240x240, Axial plane, Image width 240 mm, 1.00 mm slice spacing, Slice 116/155
FLAIR MRI.
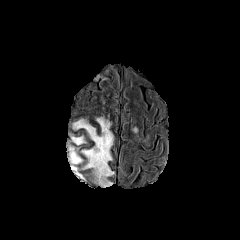
T1-weighted magnetic resonance.
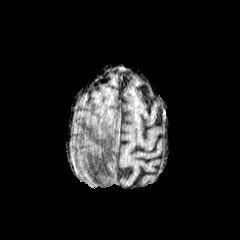
Post-contrast T1-weighted magnetic resonance.
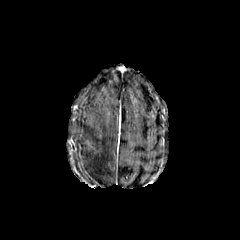
T2-weighted MR.
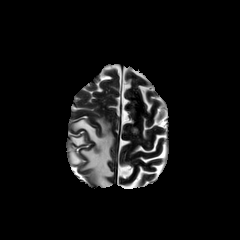
peritumoral edema: [73,135,84,144], [69,148,81,163], [73,118,113,185]